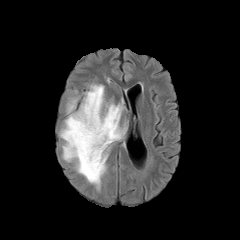
FLAIR MR image.
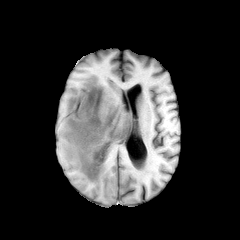
T1-weighted magnetic resonance.
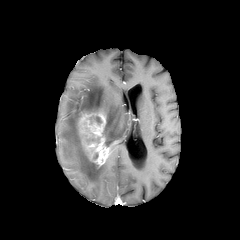
Post-contrast T1-weighted MR image of the same slice.
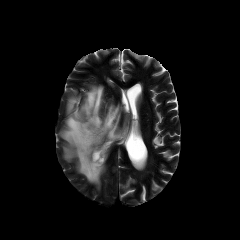
T2-weighted MRI of the same slice.
Head
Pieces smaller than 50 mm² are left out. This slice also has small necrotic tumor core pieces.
<segmentation>
  <enhancing_tumor>78:111:109:166</enhancing_tumor>
  <peritumoral_edema>60:85:105:189, 103:103:126:146</peritumoral_edema>
</segmentation>